Image covers 240 mm x 240 mm; Axial slice; Image size 240x240
FLAIR MR image.
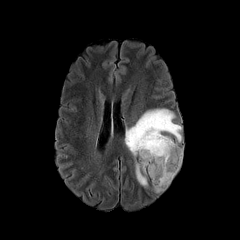
T1-weighted MR.
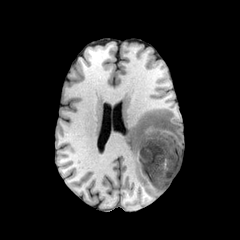
Post-contrast T1-weighted magnetic resonance.
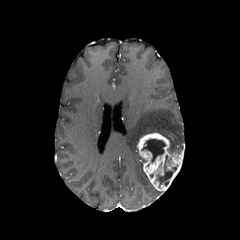
T2-weighted MR image.
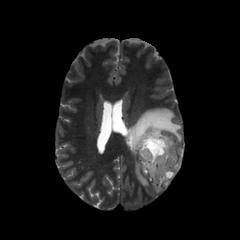
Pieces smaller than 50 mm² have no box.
necrotic tumor core — [158, 155, 173, 185], [142, 139, 165, 161]
enhancing tumor — [136, 132, 183, 191]
peritumoral edema — [125, 108, 182, 157], [135, 161, 148, 187]